240x240, Axial plane
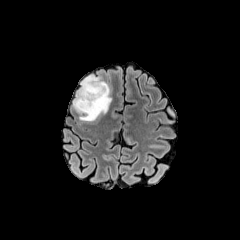
FLAIR MR.
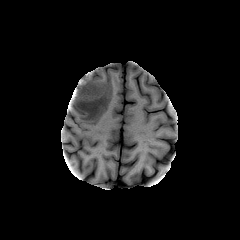
Same slice, T1-weighted MR.
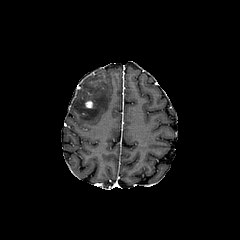
Post-contrast T1-weighted MRI.
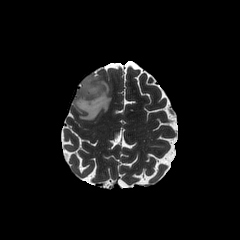
Same slice, T2-weighted MR.
peritumoral edema = left=72, top=75, right=111, bottom=121
enhancing tumor = left=85, top=100, right=93, bottom=108